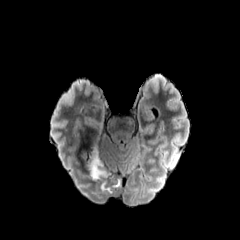
FLAIR MR image.
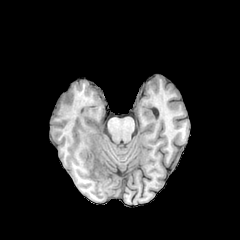
T1-weighted MR.
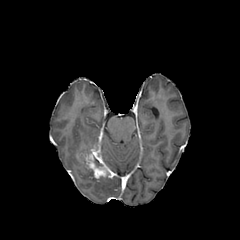
Same slice, post-contrast T1-weighted MRI.
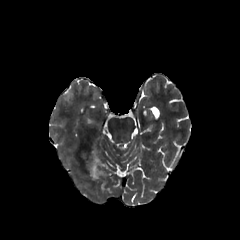
T2-weighted MR image.
Head, 240x240, Axial view
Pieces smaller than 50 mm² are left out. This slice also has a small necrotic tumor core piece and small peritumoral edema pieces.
The enhancing tumor appears at 83 142 113 178.